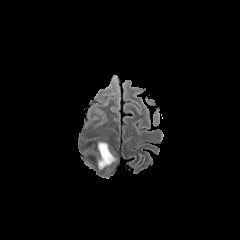
FLAIR magnetic resonance.
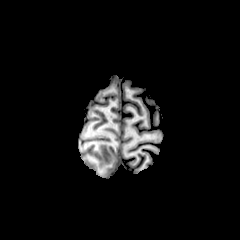
T1-weighted MR image of the same slice.
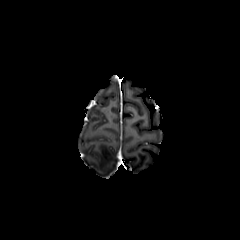
Post-contrast T1-weighted MR image of the same slice.
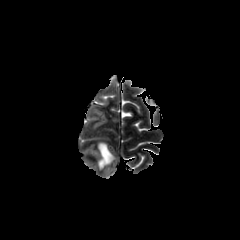
Same slice, T2-weighted MRI.
peritumoral edema: region(98, 143, 115, 169)